FLAIR MR image.
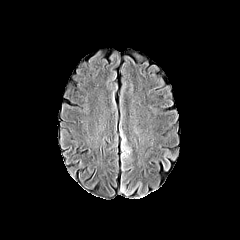
T1-weighted MR image.
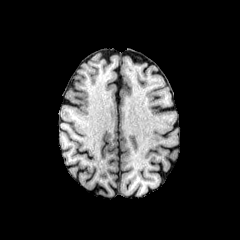
Post-contrast T1-weighted magnetic resonance.
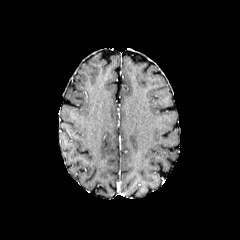
T2-weighted MR.
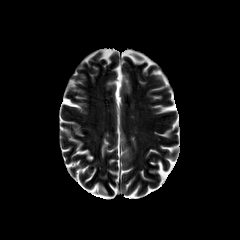
240x240 px, Brain, Axial slice
peritumoral edema — [119,130,131,162]